FLAIR MRI.
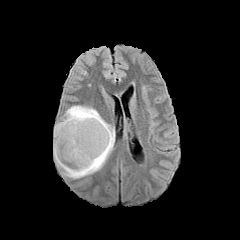
T1-weighted MRI.
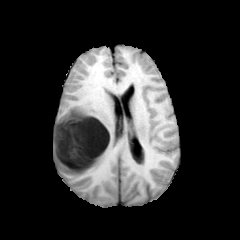
Post-contrast T1-weighted MR.
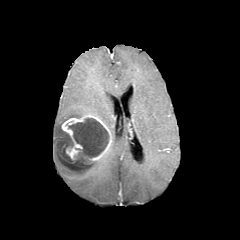
T2-weighted MR image.
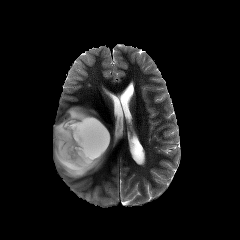
Brain.
peritumoral edema — <box>53,105,114,179</box>
enhancing tumor — <box>60,114,111,163</box>
necrotic tumor core — <box>68,118,109,158</box>, <box>62,148,73,161</box>